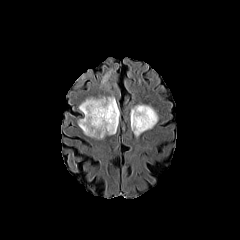
FLAIR magnetic resonance.
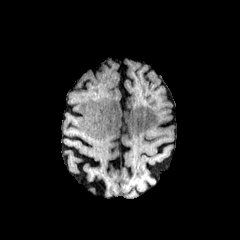
T1-weighted MR image.
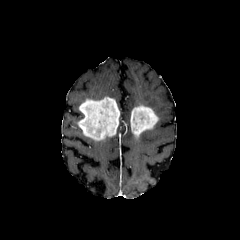
Post-contrast T1-weighted MRI.
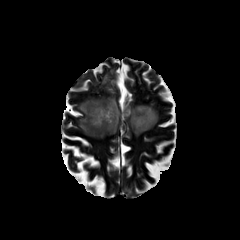
T2-weighted MRI of the same slice.
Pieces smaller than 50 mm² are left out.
enhancing tumor: bounding box x1=130 y1=105 x2=158 y2=137, x1=78 y1=97 x2=119 y2=140
peritumoral edema: bounding box x1=101 y1=70 x2=112 y2=90